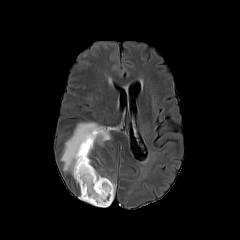
FLAIR MR.
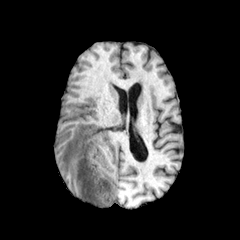
T1-weighted MR.
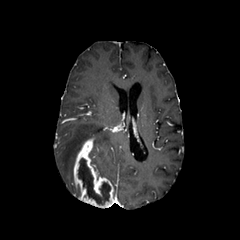
Same slice, post-contrast T1-weighted MR image.
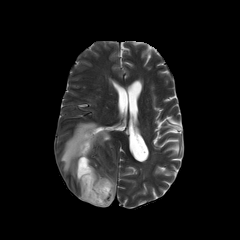
T2-weighted MR image.
Axial view; Brain; 240x240 px
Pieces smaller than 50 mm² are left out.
peritumoral edema at 60,122,110,176
enhancing tumor at 73,138,113,207
necrotic tumor core at 78,158,110,204